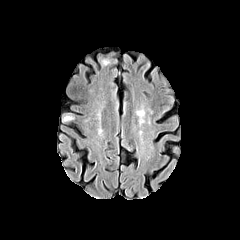
FLAIR MR.
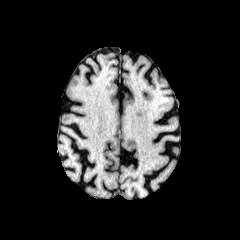
T1-weighted MR image.
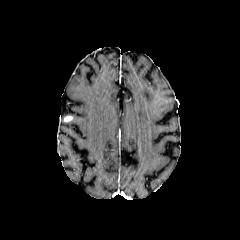
Same slice, post-contrast T1-weighted magnetic resonance.
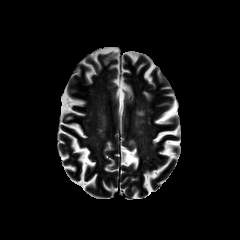
T2-weighted magnetic resonance of the same slice.
240x240. Axial slice.
Findings:
- enhancing tumor: bbox(63, 115, 73, 122)